Image size 240x240.
FLAIR MR image.
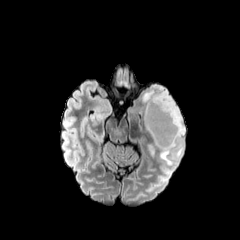
T1-weighted magnetic resonance.
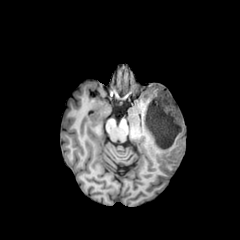
Post-contrast T1-weighted magnetic resonance.
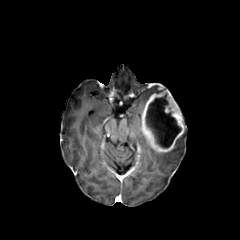
T2-weighted MR.
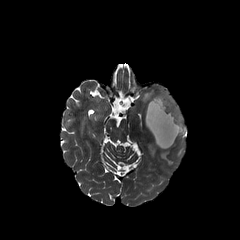
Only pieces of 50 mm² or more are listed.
The 2 largest peritumoral edema regions appear at bbox(142, 85, 160, 105); bbox(160, 126, 185, 164). The necrotic tumor core is at bbox(146, 95, 181, 148). The enhancing tumor lies within bbox(141, 86, 184, 152).